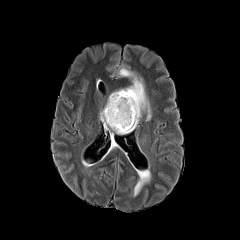
FLAIR MRI.
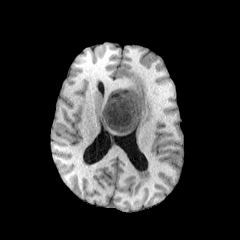
T1-weighted MR image.
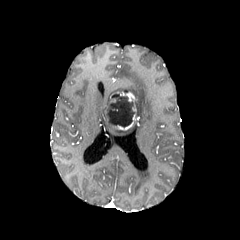
Post-contrast T1-weighted magnetic resonance.
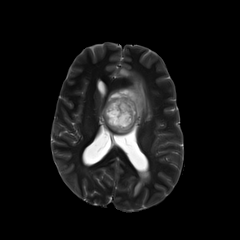
T2-weighted MR of the same slice.
Brain; Axial slice
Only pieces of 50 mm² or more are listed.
The largest necrotic tumor core region appears at (x1=103, y1=94, x2=134, y2=127). The largest enhancing tumor region is located at (x1=112, y1=91, x2=139, y2=130). The 2 largest peritumoral edema regions are located at (x1=118, y1=68, x2=151, y2=120), (x1=100, y1=110, x2=136, y2=134).